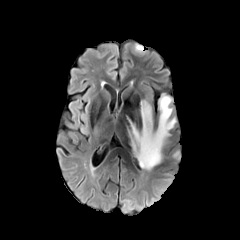
FLAIR magnetic resonance.
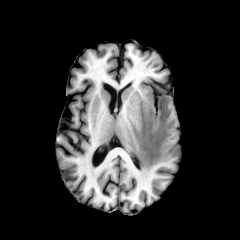
T1-weighted MR.
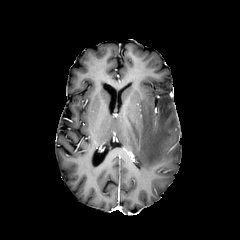
Post-contrast T1-weighted magnetic resonance.
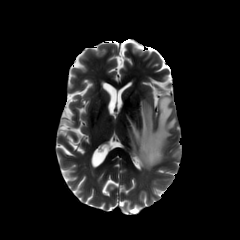
T2-weighted MRI.
Head. 240x240.
peritumoral edema: x1=128 y1=94 x2=176 y2=171